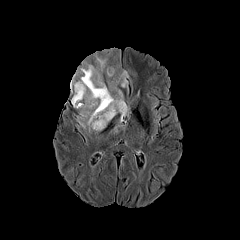
FLAIR MR.
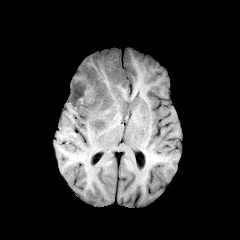
T1-weighted MRI.
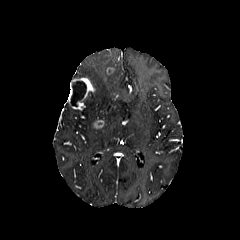
Same slice, post-contrast T1-weighted MRI.
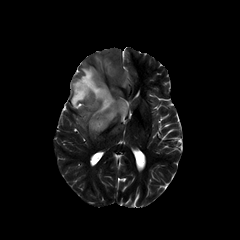
T2-weighted MR image.
Brain | Axial plane
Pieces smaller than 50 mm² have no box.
3 enhancing tumor regions appear at <box>68,77,95,110</box>, <box>106,65,115,75</box>, <box>92,118,104,129</box>. The largest necrotic tumor core region is located at <box>70,81,86,106</box>. The peritumoral edema is at <box>73,48,129,132</box>.